FLAIR MR image.
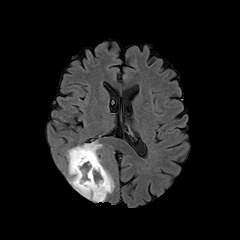
T1-weighted MR.
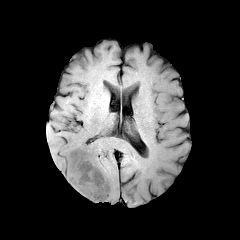
Post-contrast T1-weighted magnetic resonance.
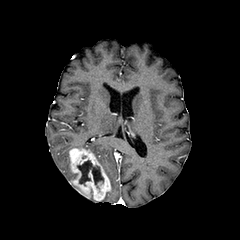
T2-weighted MR image.
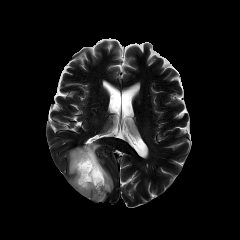
Head, Axial plane
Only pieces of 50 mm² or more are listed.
enhancing_tumor:
  - region(69, 148, 110, 201)
peritumoral_edema:
  - region(101, 167, 114, 201)
  - region(75, 141, 102, 166)
  - region(66, 150, 77, 181)
necrotic_tumor_core:
  - region(77, 160, 103, 189)